Image covers 240 mm x 240 mm | 240x240 | Axial plane
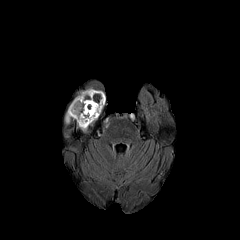
FLAIR MR.
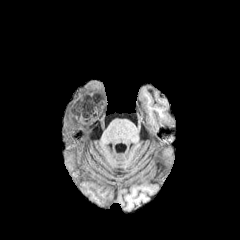
Same slice, T1-weighted MR.
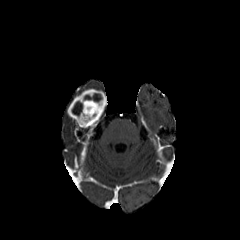
Post-contrast T1-weighted MR image.
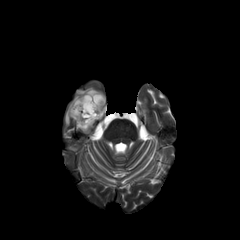
T2-weighted magnetic resonance.
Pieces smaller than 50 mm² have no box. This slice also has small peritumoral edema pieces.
enhancing tumor — 67 88 106 128
necrotic tumor core — 72 93 101 115